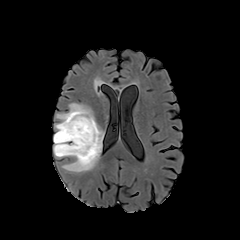
FLAIR MR.
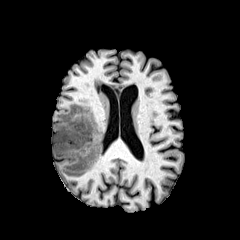
Same slice, T1-weighted MRI.
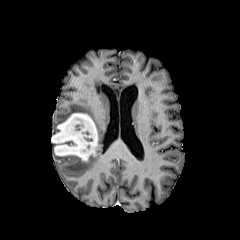
Post-contrast T1-weighted MR image.
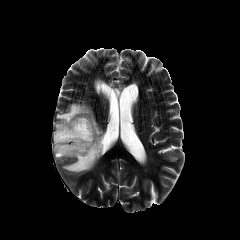
T2-weighted magnetic resonance.
Head
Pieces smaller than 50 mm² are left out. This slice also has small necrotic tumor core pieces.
enhancing_tumor:
  - <box>53,113,98,161</box>
peritumoral_edema:
  - <box>54,103,104,173</box>